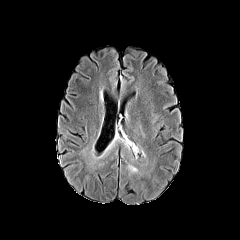
FLAIR MRI.
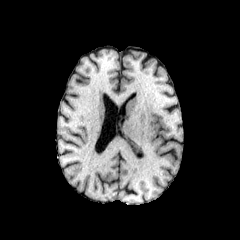
T1-weighted MR of the same slice.
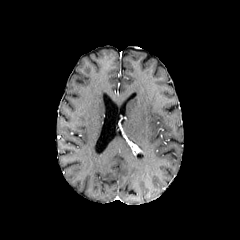
Same slice, post-contrast T1-weighted magnetic resonance.
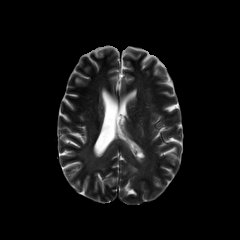
T2-weighted MR.
Head.
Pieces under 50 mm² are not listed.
{
  "peritumoral_edema": [
    "127 163 137 172"
  ]
}